Axial plane, Image width 240 mm, 1.00 mm slice spacing, Head
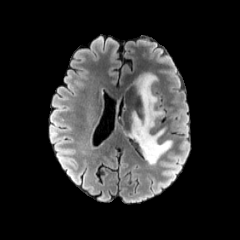
FLAIR MR.
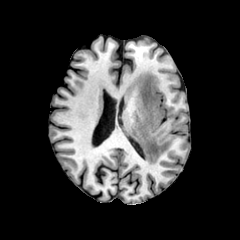
Same slice, T1-weighted MR image.
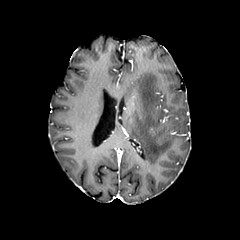
Same slice, post-contrast T1-weighted MRI.
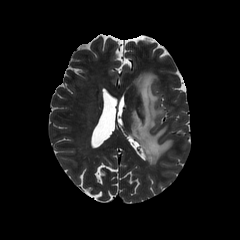
T2-weighted MRI.
The peritumoral edema lies within 130 72 172 164.